Head, Slice 82/155
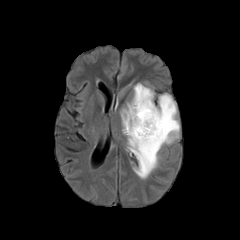
FLAIR MR image.
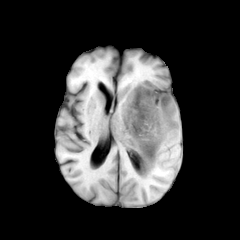
T1-weighted MR.
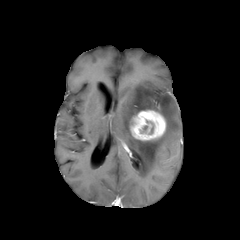
Post-contrast T1-weighted magnetic resonance.
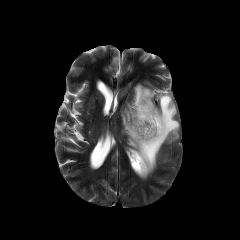
Same slice, T2-weighted MR.
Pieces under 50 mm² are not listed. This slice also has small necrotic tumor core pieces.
enhancing tumor: rect(130, 110, 166, 141) | peritumoral edema: rect(121, 83, 179, 178)